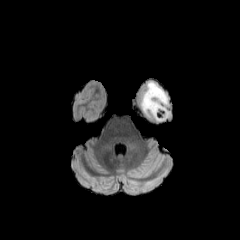
FLAIR MRI.
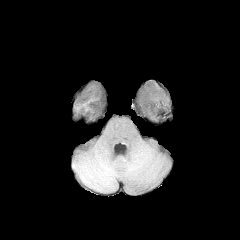
T1-weighted magnetic resonance.
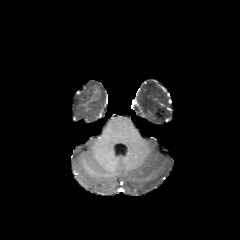
Same slice, post-contrast T1-weighted MRI.
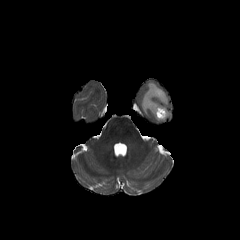
T2-weighted MRI.
Brain
peritumoral edema: (141,82,170,123)